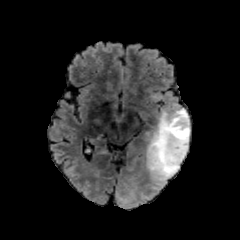
FLAIR MR image.
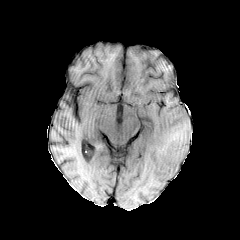
T1-weighted MRI.
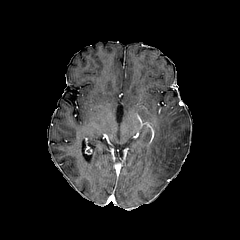
Same slice, post-contrast T1-weighted MR image.
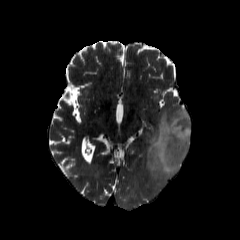
T2-weighted MRI.
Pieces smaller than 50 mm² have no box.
The largest peritumoral edema region is located at {"x1": 146, "y1": 108, "x2": 190, "y2": 180}.